FLAIR MR image.
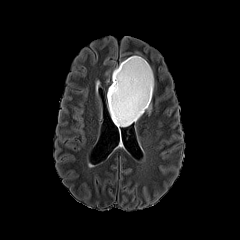
T1-weighted MR.
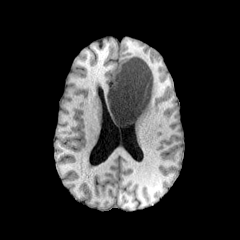
Post-contrast T1-weighted MR.
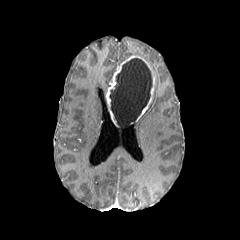
T2-weighted magnetic resonance.
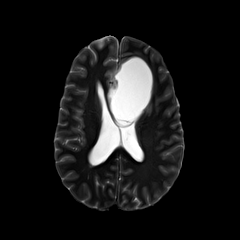
Axial view
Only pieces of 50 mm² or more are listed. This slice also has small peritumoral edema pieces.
{
  "necrotic_tumor_core": [
    "<bbox>109, 58, 152, 126</bbox>"
  ],
  "enhancing_tumor": [
    "<bbox>106, 56, 154, 126</bbox>"
  ]
}